FLAIR MRI.
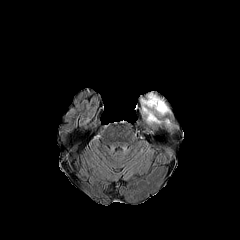
T1-weighted MRI.
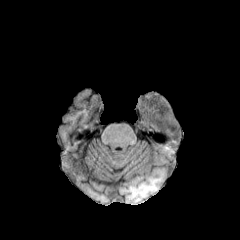
Post-contrast T1-weighted magnetic resonance.
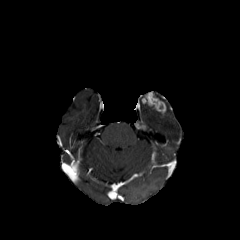
T2-weighted MR image.
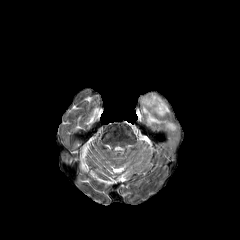
Brain.
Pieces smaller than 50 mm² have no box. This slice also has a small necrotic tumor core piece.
The enhancing tumor is bounded by [142,92,166,117]. The largest peritumoral edema region lies within [141,103,173,130].